FLAIR MR image.
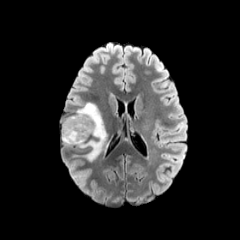
T1-weighted MRI.
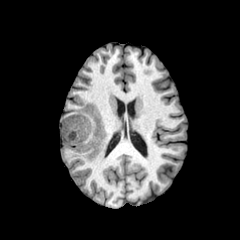
Post-contrast T1-weighted MRI.
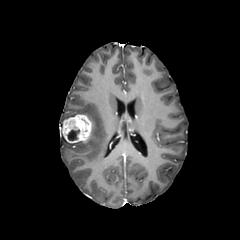
T2-weighted magnetic resonance.
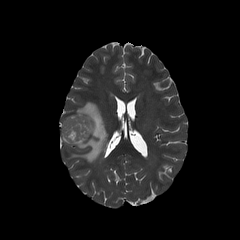
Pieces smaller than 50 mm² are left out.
necrotic tumor core: 67,129,79,140 | enhancing tumor: 61,114,91,143 | peritumoral edema: 62,102,109,161